FLAIR MR image.
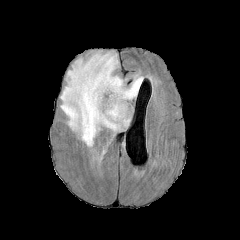
T1-weighted MRI.
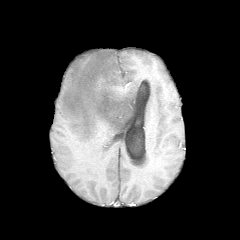
Post-contrast T1-weighted MRI.
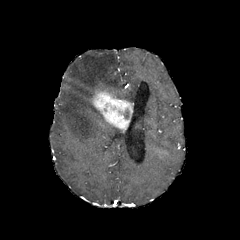
T2-weighted magnetic resonance.
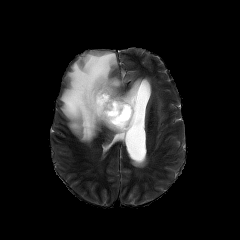
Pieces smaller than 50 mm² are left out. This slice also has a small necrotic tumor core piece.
Findings:
• enhancing tumor: x1=91 y1=86 x2=133 y2=130
• peritumoral edema: x1=60 y1=51 x2=143 y2=146